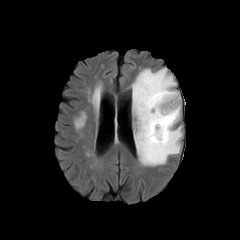
FLAIR MR image.
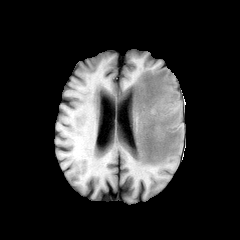
T1-weighted MR.
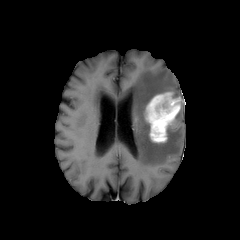
Post-contrast T1-weighted MR of the same slice.
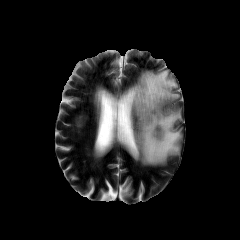
T2-weighted magnetic resonance of the same slice.
Axial plane, Brain
The peritumoral edema is at [132,68,182,166]. The enhancing tumor lies within [145,92,180,142].